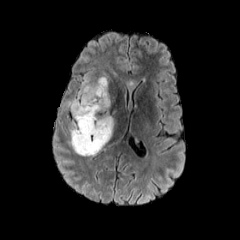
FLAIR MR.
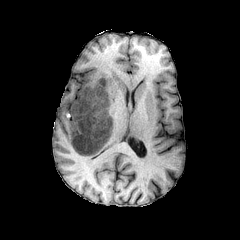
Same slice, T1-weighted MR.
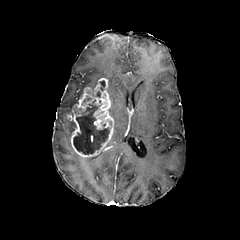
Same slice, post-contrast T1-weighted MRI.
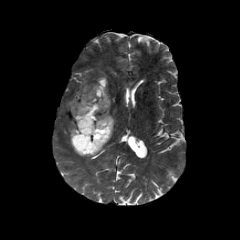
T2-weighted MR.
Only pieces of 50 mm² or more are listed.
necrotic tumor core: {"x1": 73, "y1": 100, "x2": 111, "y2": 155}
enhancing tumor: {"x1": 94, "y1": 117, "x2": 108, "y2": 129}, {"x1": 71, "y1": 77, "x2": 114, "y2": 157}
peritumoral edema: {"x1": 63, "y1": 73, "x2": 108, "y2": 116}, {"x1": 69, "y1": 121, "x2": 74, "y2": 144}